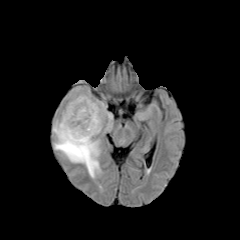
FLAIR MR.
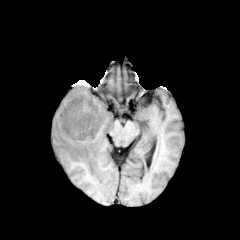
T1-weighted MRI.
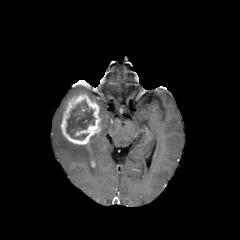
Same slice, post-contrast T1-weighted MR.
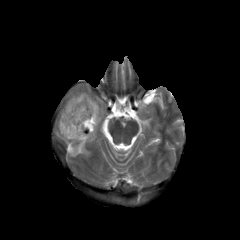
T2-weighted magnetic resonance.
Brain
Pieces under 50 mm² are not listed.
The necrotic tumor core appears at {"x1": 66, "y1": 101, "x2": 94, "y2": 139}. 3 peritumoral edema regions appear at {"x1": 68, "y1": 89, "x2": 93, "y2": 99}, {"x1": 53, "y1": 110, "x2": 101, "y2": 177}, {"x1": 95, "y1": 100, "x2": 112, "y2": 132}. The largest enhancing tumor region lies within {"x1": 61, "y1": 92, "x2": 101, "y2": 144}.